Slice 85/155. Brain.
FLAIR MR image.
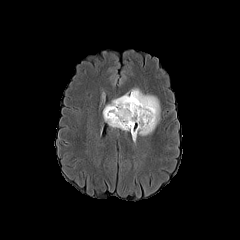
T1-weighted MR.
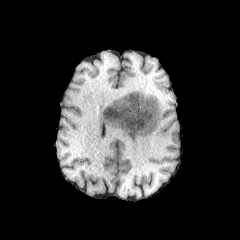
Post-contrast T1-weighted MR image.
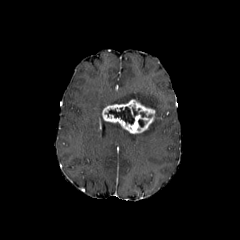
T2-weighted magnetic resonance.
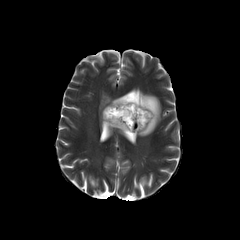
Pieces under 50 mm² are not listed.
The enhancing tumor is located at left=102, top=99, right=155, bottom=133. The 2 largest peritumoral edema regions are bounded by left=107, top=122, right=125, bottom=130; left=109, top=89, right=160, bottom=135. The largest necrotic tumor core region is at left=105, top=107, right=139, bottom=124.